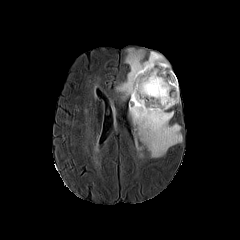
FLAIR MR.
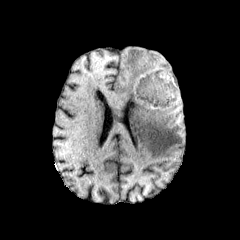
T1-weighted MR image.
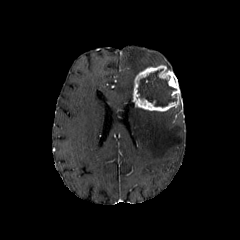
Post-contrast T1-weighted MR.
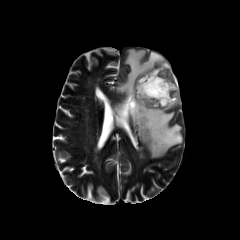
T2-weighted MRI of the same slice.
Axial view. Head.
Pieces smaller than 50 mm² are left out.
The necrotic tumor core lies within rect(138, 69, 176, 106). The largest enhancing tumor region is located at rect(132, 65, 180, 111). The largest peritumoral edema region is at rect(116, 48, 182, 157).